240x240 px
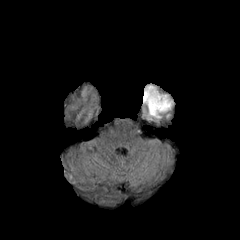
FLAIR MR image.
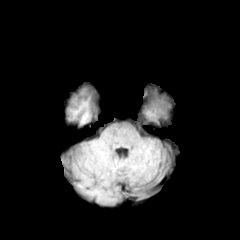
Same slice, T1-weighted MR.
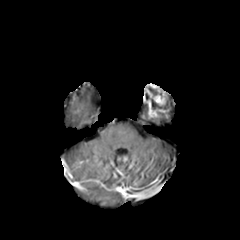
Post-contrast T1-weighted MRI of the same slice.
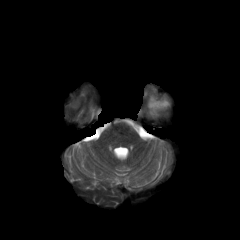
T2-weighted magnetic resonance of the same slice.
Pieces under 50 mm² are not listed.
The largest peritumoral edema region is at {"x1": 165, "y1": 95, "x2": 172, "y2": 109}. The largest necrotic tumor core region appears at {"x1": 151, "y1": 99, "x2": 165, "y2": 109}. The largest enhancing tumor region is at {"x1": 143, "y1": 84, "x2": 169, "y2": 118}.